FLAIR MR image.
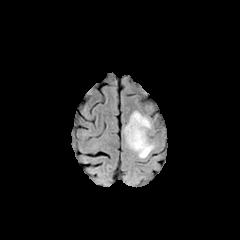
T1-weighted MR.
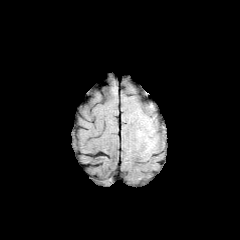
Post-contrast T1-weighted MR image.
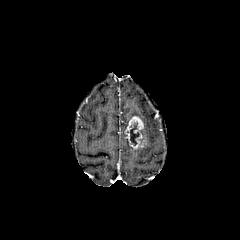
T2-weighted MRI.
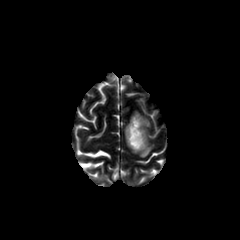
peritumoral edema: region(123, 111, 154, 158) | enhancing tumor: region(125, 116, 146, 149) | necrotic tumor core: region(130, 123, 139, 145)